FLAIR MRI.
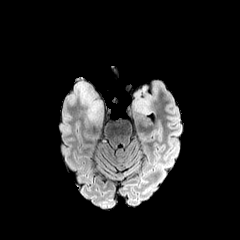
T1-weighted MR.
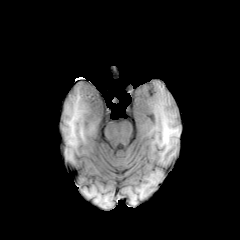
Post-contrast T1-weighted magnetic resonance.
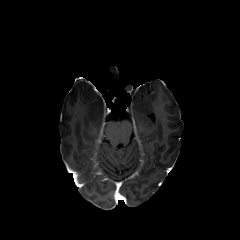
T2-weighted magnetic resonance.
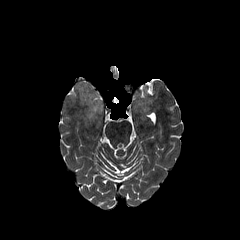
Head; Axial slice
2 peritumoral edema regions are located at box(131, 90, 156, 112); box(75, 82, 103, 120).